Head; 240x240 px
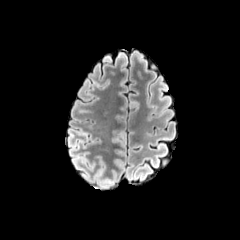
FLAIR MR image.
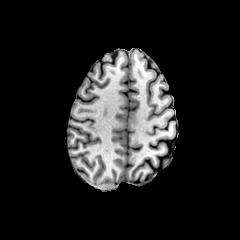
T1-weighted magnetic resonance.
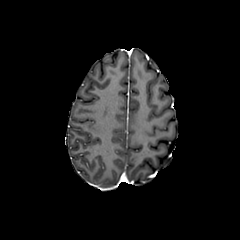
Post-contrast T1-weighted magnetic resonance of the same slice.
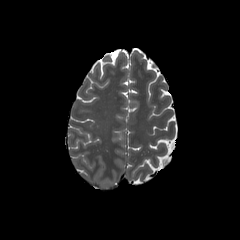
T2-weighted MRI of the same slice.
The peritumoral edema appears at [x1=97, y1=178, x2=114, y2=187].